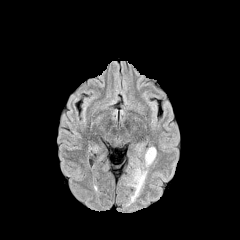
FLAIR MRI.
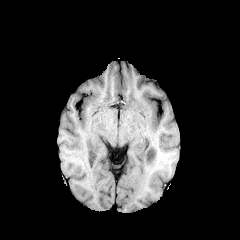
T1-weighted magnetic resonance.
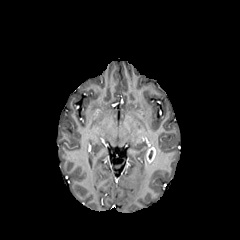
Post-contrast T1-weighted MR.
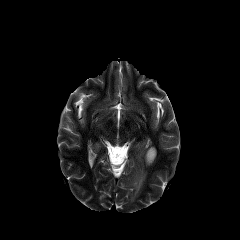
Same slice, T2-weighted magnetic resonance.
Head
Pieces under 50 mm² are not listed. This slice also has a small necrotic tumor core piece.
enhancing tumor — x1=146, y1=147, x2=155, y2=163
peritumoral edema — x1=128, y1=168, x2=146, y2=202